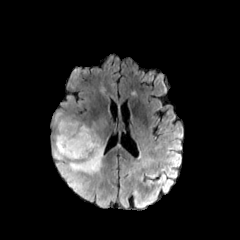
FLAIR magnetic resonance.
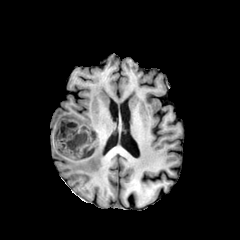
T1-weighted MR image.
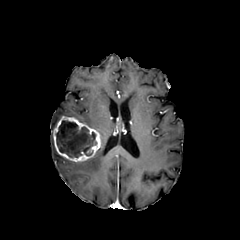
Post-contrast T1-weighted MRI.
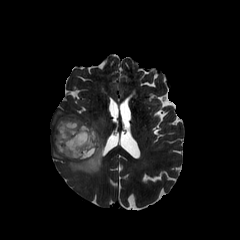
T2-weighted MR of the same slice.
Image size 240x240, Axial plane
peritumoral edema: 52,110,84,130; 51,117,106,200
necrotic tumor core: 56,120,96,157
enhancing tumor: 53,116,100,161